FLAIR MR image.
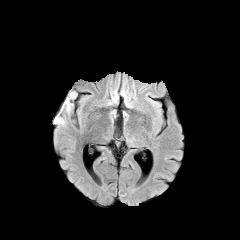
T1-weighted MRI.
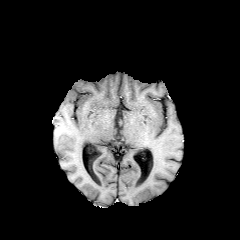
Post-contrast T1-weighted MR.
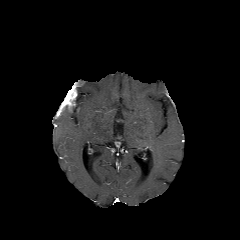
T2-weighted MR.
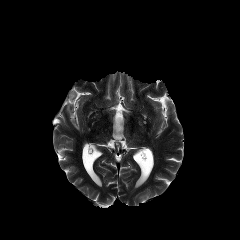
240x240 | Axial view
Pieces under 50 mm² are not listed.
Findings:
* peritumoral edema: box=[54, 116, 65, 125]
* enhancing tumor: box=[55, 87, 77, 117]